Slice 95 of 155. Axial plane.
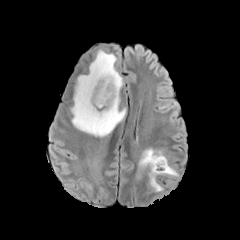
FLAIR MR.
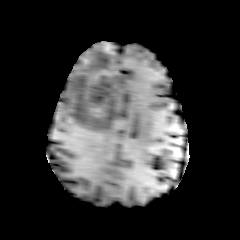
T1-weighted magnetic resonance.
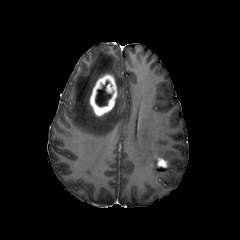
Post-contrast T1-weighted magnetic resonance.
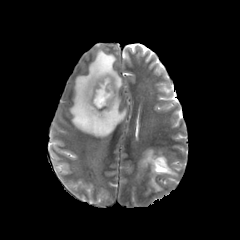
T2-weighted magnetic resonance.
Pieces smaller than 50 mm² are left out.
enhancing tumor: 155 156 168 167, 89 74 117 116 | peritumoral edema: 149 165 178 190, 71 50 125 136, 139 148 167 169 | necrotic tumor core: 154 159 165 171, 95 81 111 106